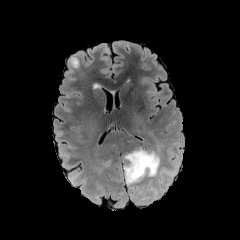
FLAIR MR image.
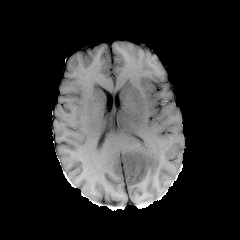
Same slice, T1-weighted magnetic resonance.
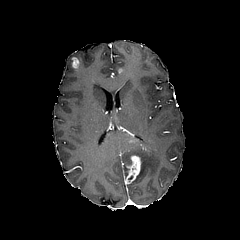
Post-contrast T1-weighted MRI.
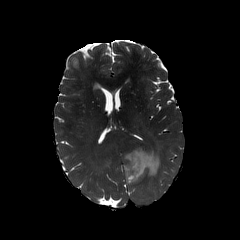
T2-weighted MRI of the same slice.
Head | 240x240 | Axial plane
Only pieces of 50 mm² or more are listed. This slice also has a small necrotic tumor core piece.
peritumoral_edema:
  - {"x1": 147, "y1": 180, "x2": 156, "y2": 192}
  - {"x1": 123, "y1": 148, "x2": 160, "y2": 188}
enhancing_tumor:
  - {"x1": 125, "y1": 155, "x2": 141, "y2": 183}
  - {"x1": 71, "y1": 57, "x2": 78, "y2": 68}